FLAIR MR.
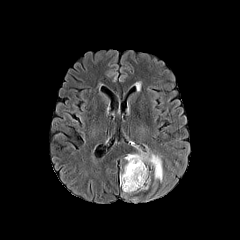
T1-weighted MRI.
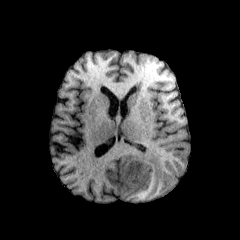
Post-contrast T1-weighted magnetic resonance.
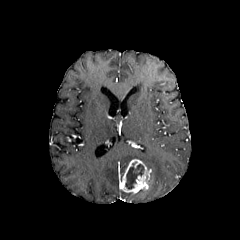
T2-weighted MRI.
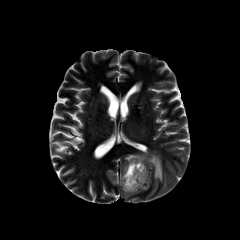
240x240.
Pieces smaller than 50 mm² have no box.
enhancing tumor at rect(121, 159, 151, 193)
peritumoral edema at rect(124, 151, 163, 182)
necrotic tumor core at rect(125, 163, 144, 189)